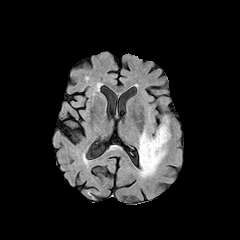
FLAIR MR image.
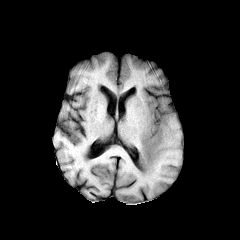
Same slice, T1-weighted MRI.
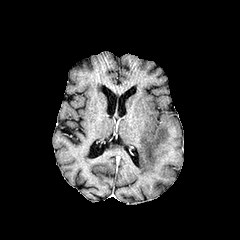
Same slice, post-contrast T1-weighted MR image.
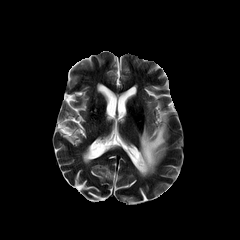
T2-weighted magnetic resonance.
240x240 px.
The peritumoral edema is at l=139, t=115, r=169, b=177.